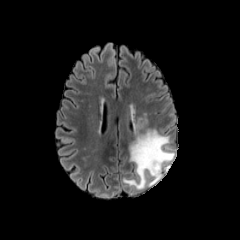
FLAIR MRI.
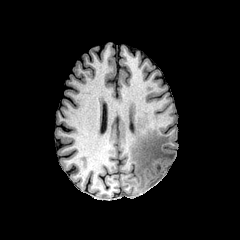
T1-weighted MRI.
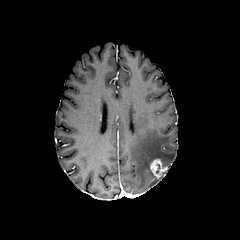
Same slice, post-contrast T1-weighted MRI.
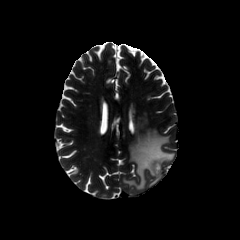
Same slice, T2-weighted MR image.
Head, 240x240 px
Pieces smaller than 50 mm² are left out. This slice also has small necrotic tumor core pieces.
peritumoral edema: bounding box [x1=123, y1=113, x2=175, y2=189]
enhancing tumor: bounding box [x1=150, y1=158, x2=167, y2=178]